Image size 240x240, Slice index 61, Image width 240 mm
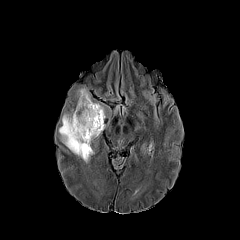
FLAIR MRI.
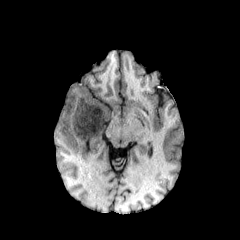
Same slice, T1-weighted MR.
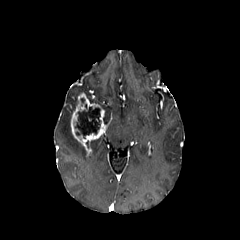
Post-contrast T1-weighted magnetic resonance.
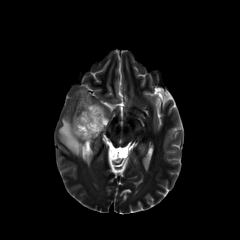
T2-weighted magnetic resonance of the same slice.
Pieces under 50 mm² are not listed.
peritumoral_edema:
  - [76, 88, 93, 102]
  - [59, 114, 93, 162]
necrotic_tumor_core:
  - [74, 98, 100, 138]
enhancing_tumor:
  - [70, 93, 105, 152]